240x240
FLAIR magnetic resonance.
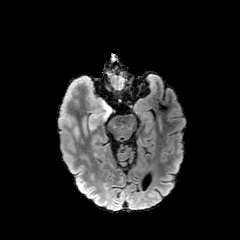
T1-weighted MRI.
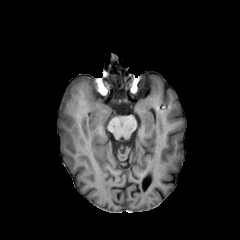
Post-contrast T1-weighted MR.
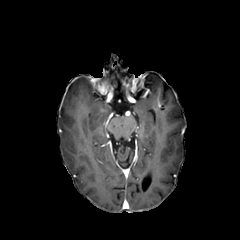
T2-weighted MRI.
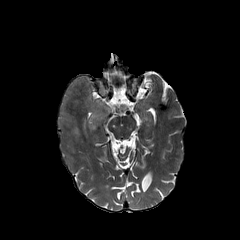
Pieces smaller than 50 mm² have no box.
The largest peritumoral edema region is at 59 76 112 138.